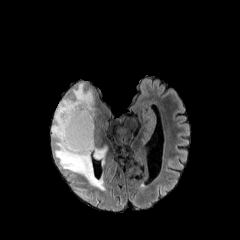
FLAIR magnetic resonance.
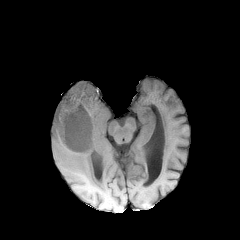
T1-weighted MRI.
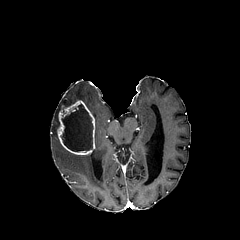
Post-contrast T1-weighted magnetic resonance.
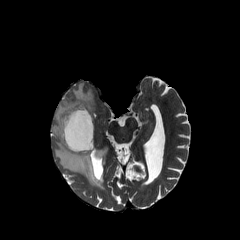
T2-weighted MRI.
Head | 240x240 px | Axial plane
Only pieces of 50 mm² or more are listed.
enhancing tumor: (57, 100, 95, 155) | peritumoral edema: (93, 146, 107, 166), (51, 83, 104, 190) | necrotic tumor core: (60, 104, 92, 151)